Axial plane
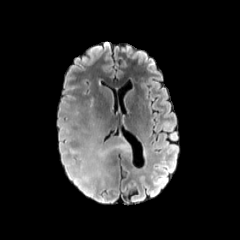
FLAIR MR image.
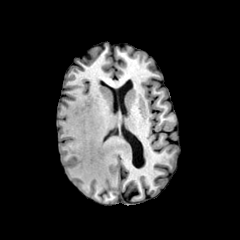
T1-weighted MR image of the same slice.
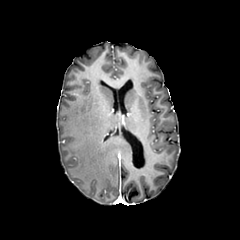
Same slice, post-contrast T1-weighted MRI.
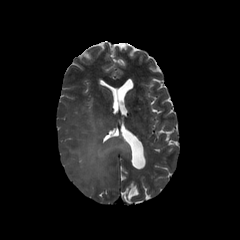
T2-weighted MR.
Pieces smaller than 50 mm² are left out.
peritumoral edema — 71,129,130,184